Brain.
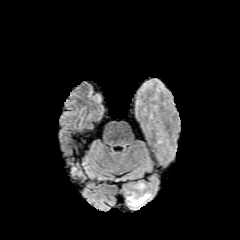
FLAIR MRI.
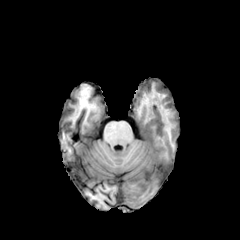
T1-weighted MR of the same slice.
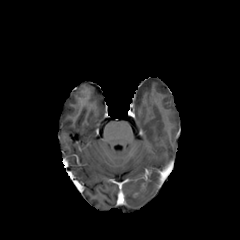
Post-contrast T1-weighted MRI.
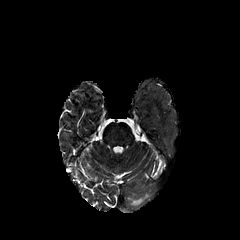
T2-weighted MR image.
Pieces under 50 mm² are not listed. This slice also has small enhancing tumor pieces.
Findings:
* peritumoral edema: 127 183 151 207